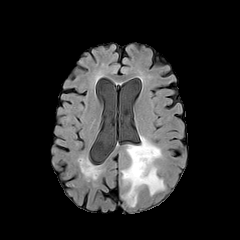
FLAIR MRI.
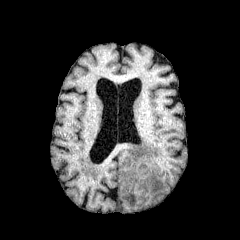
T1-weighted magnetic resonance.
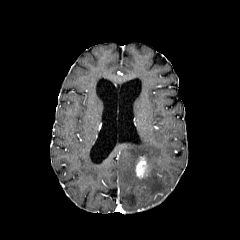
Same slice, post-contrast T1-weighted MR image.
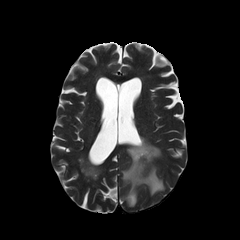
T2-weighted magnetic resonance.
Brain. Axial view.
enhancing tumor: box(135, 156, 148, 178)
peritumoral edema: box(121, 136, 165, 206)